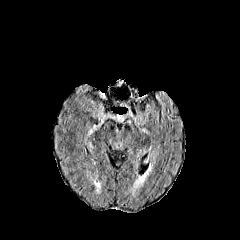
FLAIR MR image.
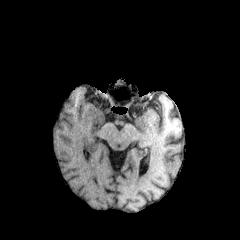
Same slice, T1-weighted magnetic resonance.
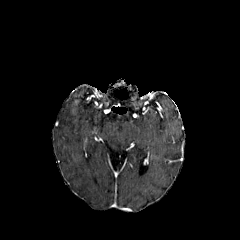
Post-contrast T1-weighted MR.
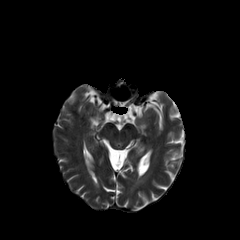
Same slice, T2-weighted magnetic resonance.
Head; Axial plane
peritumoral edema — 88, 120, 103, 134